240x240 px.
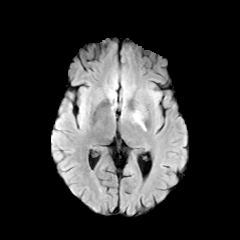
FLAIR MRI.
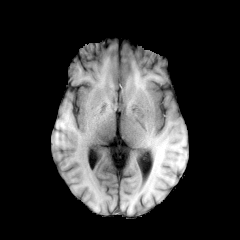
T1-weighted magnetic resonance of the same slice.
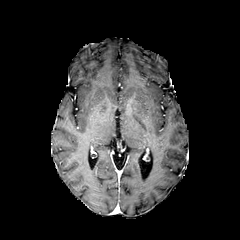
Post-contrast T1-weighted MR image of the same slice.
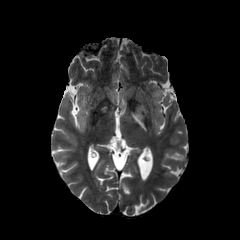
T2-weighted MRI of the same slice.
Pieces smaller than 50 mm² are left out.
peritumoral edema — [130, 106, 145, 130], [152, 92, 160, 101]